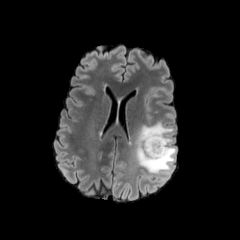
FLAIR MRI.
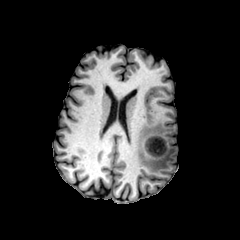
Same slice, T1-weighted MRI.
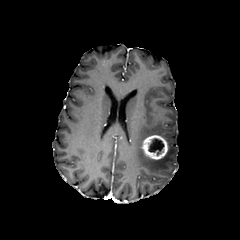
Same slice, post-contrast T1-weighted magnetic resonance.
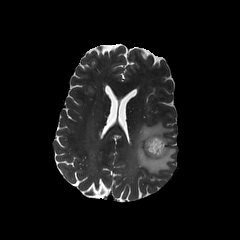
T2-weighted magnetic resonance.
Brain
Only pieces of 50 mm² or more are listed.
The largest peritumoral edema region is at bbox(135, 120, 176, 173). The necrotic tumor core is at bbox(148, 138, 164, 155). The enhancing tumor lies within bbox(142, 135, 168, 159).